Slice index 42 | Image covers 240 mm x 240 mm | Head
FLAIR magnetic resonance.
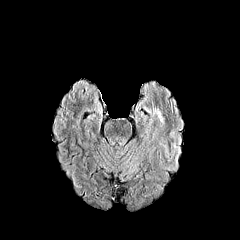
T1-weighted MR image.
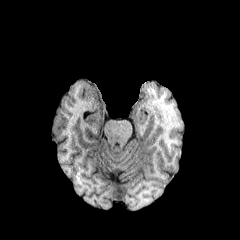
Post-contrast T1-weighted magnetic resonance.
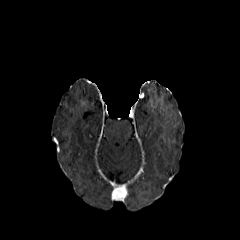
T2-weighted MRI.
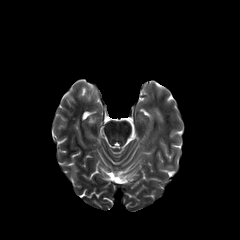
<segmentation>
  <peritumoral_edema>region(154, 109, 163, 123)</peritumoral_edema>
</segmentation>